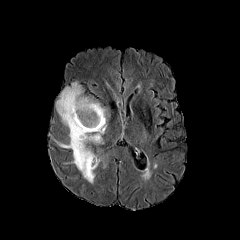
FLAIR MRI.
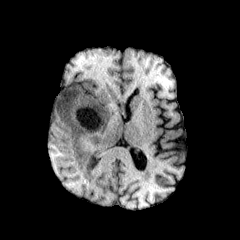
T1-weighted MR image of the same slice.
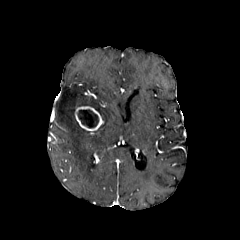
Post-contrast T1-weighted MR of the same slice.
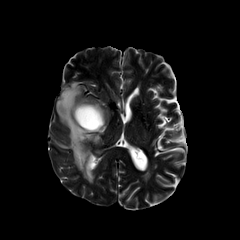
T2-weighted magnetic resonance.
240x240 px; Axial plane
peritumoral edema: bounding box 56:83:106:183
necrotic tumor core: bounding box 78:109:98:127
enhancing tumor: bounding box 75:106:103:133